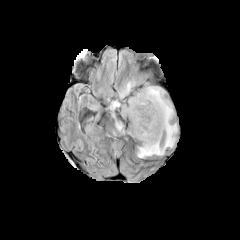
FLAIR magnetic resonance.
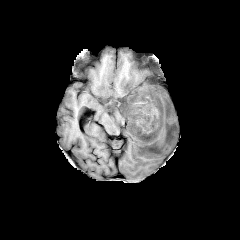
T1-weighted MR image.
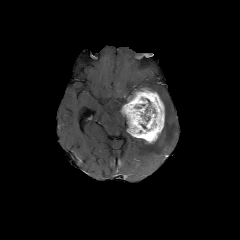
Post-contrast T1-weighted MRI.
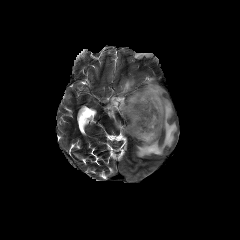
T2-weighted MRI.
240x240 px.
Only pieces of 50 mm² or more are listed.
peritumoral_edema:
  - left=115, top=120, right=124, bottom=132
  - left=110, top=100, right=123, bottom=110
  - left=119, top=80, right=135, bottom=98
  - left=137, top=85, right=177, bottom=157
enhancing_tumor:
  - left=121, top=88, right=164, bottom=143
necrotic_tumor_core:
  - left=145, top=98, right=155, bottom=113